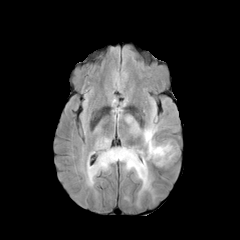
FLAIR MR.
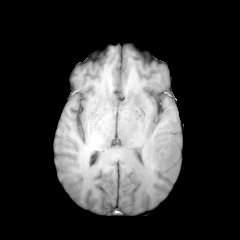
T1-weighted MR image.
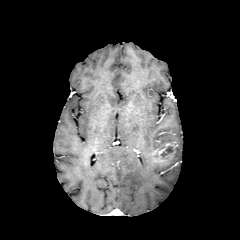
Post-contrast T1-weighted MR.
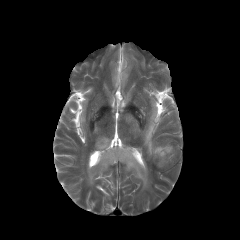
T2-weighted MR image.
Axial slice; 240x240
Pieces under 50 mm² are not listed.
necrotic tumor core: bounding box left=160, top=146, right=172, bottom=158
peritumoral edema: bounding box left=87, top=108, right=178, bottom=194
enhancing tumor: bounding box left=151, top=143, right=175, bottom=164